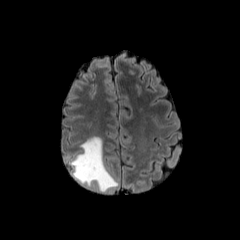
FLAIR MR image.
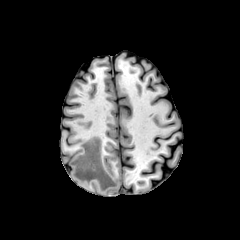
T1-weighted MR of the same slice.
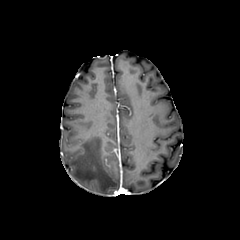
Same slice, post-contrast T1-weighted MR.
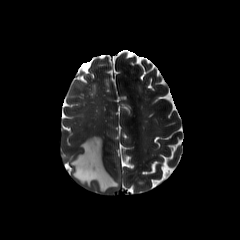
Same slice, T2-weighted MRI.
Head | Axial view | Image size 240x240
peritumoral edema at {"x1": 71, "y1": 136, "x2": 118, "y2": 192}